Axial plane. Brain. Slice 120 of 155.
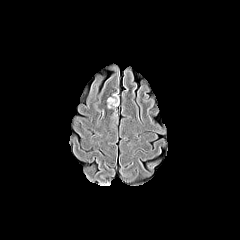
FLAIR magnetic resonance.
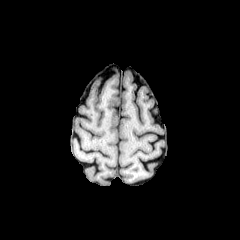
Same slice, T1-weighted MR image.
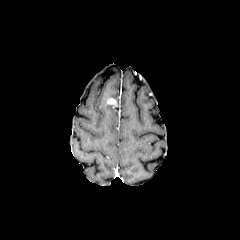
Post-contrast T1-weighted MRI of the same slice.
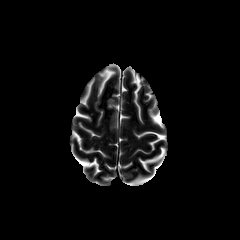
T2-weighted MR of the same slice.
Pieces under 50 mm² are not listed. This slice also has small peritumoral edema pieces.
The enhancing tumor is located at (107,98,117,107).